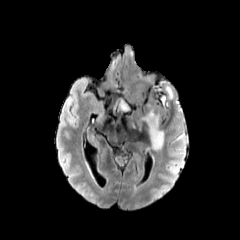
FLAIR MR image.
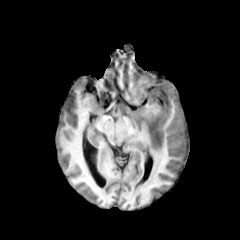
Same slice, T1-weighted MR.
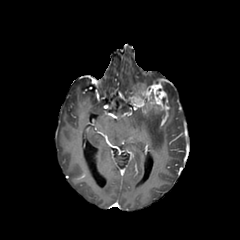
Post-contrast T1-weighted magnetic resonance of the same slice.
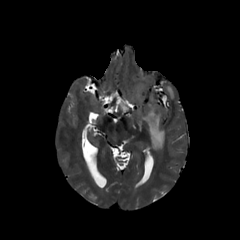
Same slice, T2-weighted MR.
Head, Axial view
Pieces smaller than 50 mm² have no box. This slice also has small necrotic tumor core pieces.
The 3 largest peritumoral edema regions are bounded by [x1=132, y1=83, x2=148, y2=96], [x1=161, y1=81, x2=174, y2=105], [x1=141, y1=98, x2=165, y2=151]. The enhancing tumor is at [x1=131, y1=81, x2=168, y2=110].